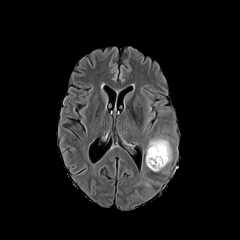
FLAIR MRI.
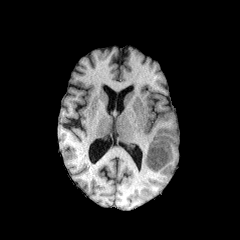
T1-weighted MR of the same slice.
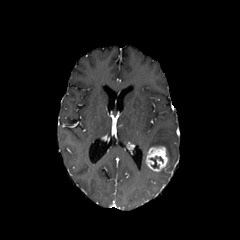
Post-contrast T1-weighted MR image.
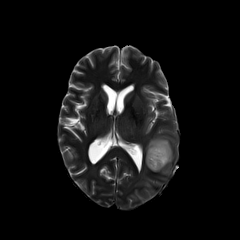
T2-weighted magnetic resonance.
Axial view | Head
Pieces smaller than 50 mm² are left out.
necrotic tumor core at (x1=150, y1=156, x2=162, y2=168)
peritumoral edema at (x1=146, y1=138, x2=172, y2=163)
enhancing tumor at (x1=145, y1=146, x2=168, y2=171)